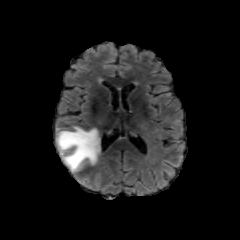
FLAIR MRI.
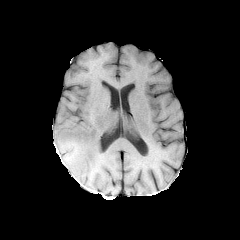
T1-weighted MR.
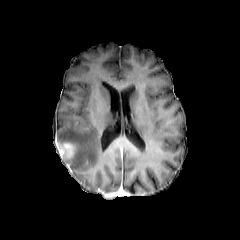
Same slice, post-contrast T1-weighted MRI.
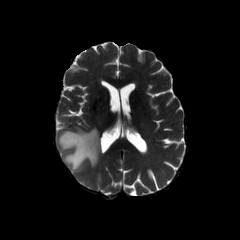
T2-weighted MR.
Head, Image size 240x240, Axial view
The enhancing tumor appears at region(58, 142, 75, 159). The peritumoral edema lies within region(57, 126, 100, 177).